FLAIR MR image.
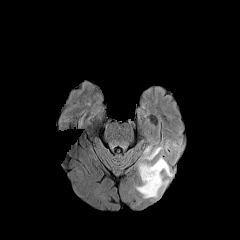
T1-weighted MR image.
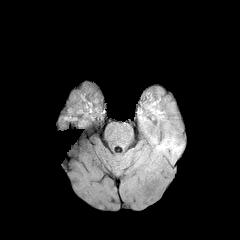
Post-contrast T1-weighted MR.
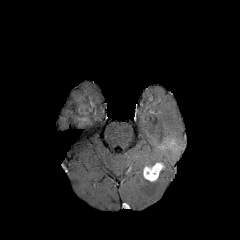
T2-weighted MR.
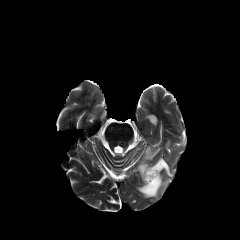
Brain.
peritumoral_edema:
  - box=[136, 146, 174, 198]
enhancing_tumor:
  - box=[143, 162, 165, 181]